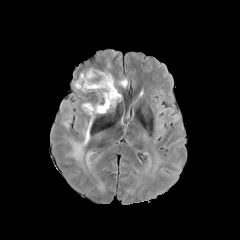
FLAIR MRI.
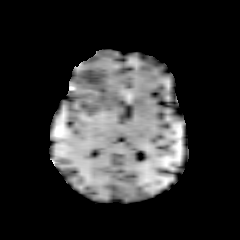
T1-weighted MR image of the same slice.
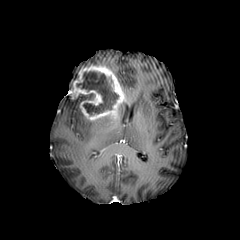
Post-contrast T1-weighted MR image.
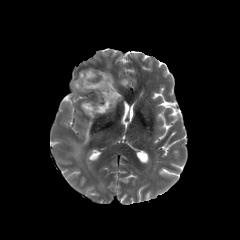
Same slice, T2-weighted MRI.
Axial slice
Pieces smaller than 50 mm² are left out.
necrotic tumor core: [79,94,93,99], [77,72,118,114]
enhancing tumor: [69,65,125,121]
peritumoral edema: [69,121,92,161], [121,78,128,87], [63,102,79,121]